Axial view
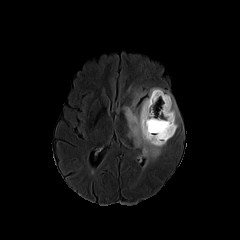
FLAIR MRI.
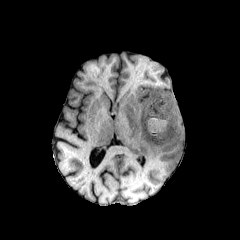
T1-weighted MR.
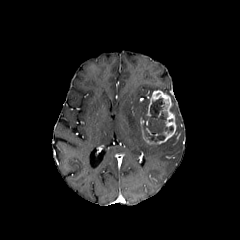
Post-contrast T1-weighted MRI of the same slice.
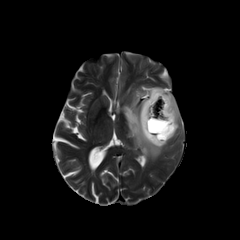
T2-weighted MR.
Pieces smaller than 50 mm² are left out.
necrotic tumor core: bounding box 143,98,173,141
peritumoral edema: bounding box 123,87,179,161
enhancing tumor: bounding box 140,90,176,144